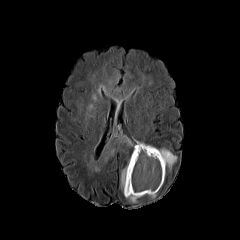
FLAIR MR image.
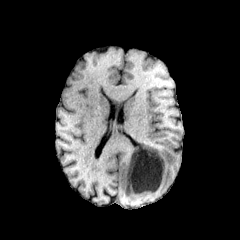
T1-weighted MR image.
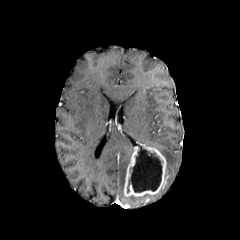
Post-contrast T1-weighted magnetic resonance.
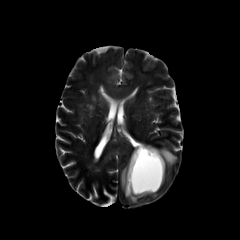
T2-weighted MR.
Axial view
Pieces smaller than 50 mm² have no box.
enhancing tumor: bbox=[124, 143, 166, 196] | necrotic tumor core: bbox=[127, 145, 162, 192] | peritumoral edema: bbox=[121, 167, 126, 192]; bbox=[126, 196, 140, 202]; bbox=[158, 148, 177, 169]; bbox=[90, 134, 132, 169]